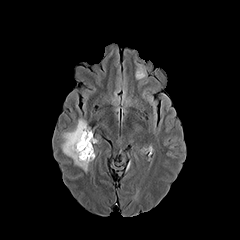
FLAIR magnetic resonance.
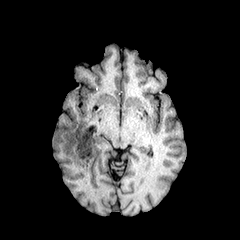
Same slice, T1-weighted MRI.
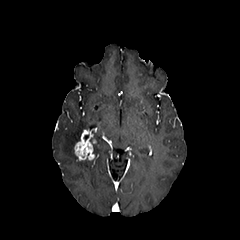
Post-contrast T1-weighted MRI.
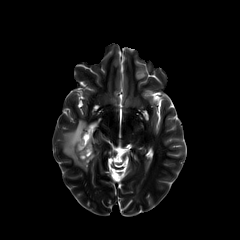
T2-weighted MR image.
Head.
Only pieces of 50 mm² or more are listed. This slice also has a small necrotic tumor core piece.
{"enhancing_tumor": ["74, 129, 94, 160"], "peritumoral_edema": ["135, 70, 145, 79", "61, 119, 90, 171"]}